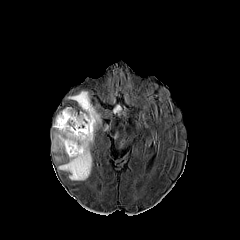
FLAIR MR.
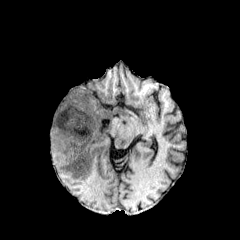
T1-weighted MRI of the same slice.
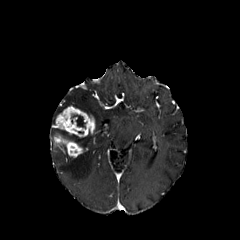
Post-contrast T1-weighted MR image.
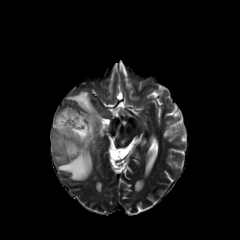
Same slice, T2-weighted MRI.
Head
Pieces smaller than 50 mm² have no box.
Annotated regions:
- peritumoral edema: <box>58,133,93,180</box>, <box>67,91,101,126</box>
- enhancing tumor: <box>52,132,84,157</box>, <box>55,106,95,138</box>
- necrotic tumor core: <box>71,114,85,126</box>, <box>56,129,81,145</box>